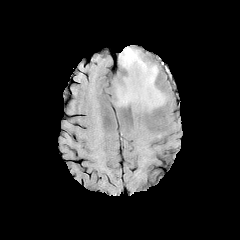
FLAIR MR.
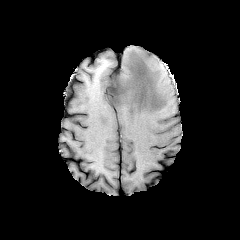
T1-weighted magnetic resonance.
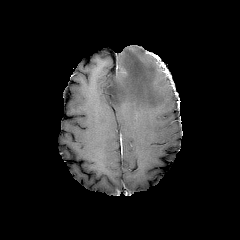
Post-contrast T1-weighted MRI.
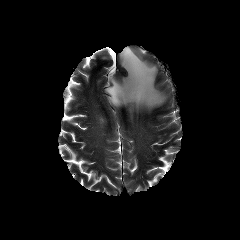
T2-weighted MRI.
240x240
peritumoral edema: 109,46,166,111